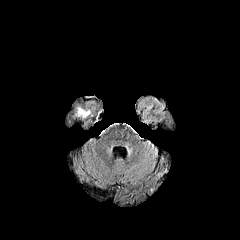
FLAIR MR.
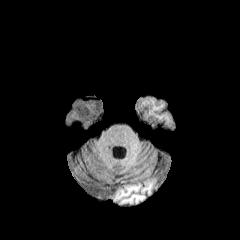
T1-weighted MRI.
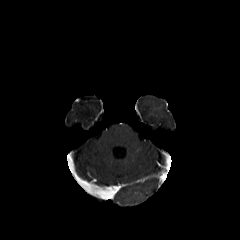
Same slice, post-contrast T1-weighted MR image.
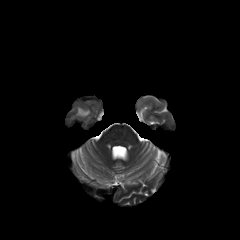
T2-weighted MRI of the same slice.
Brain, 240x240
peritumoral edema: box(76, 107, 90, 117)